FLAIR MRI.
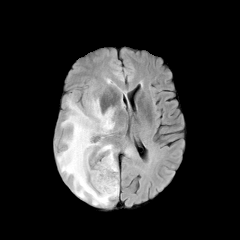
T1-weighted MRI.
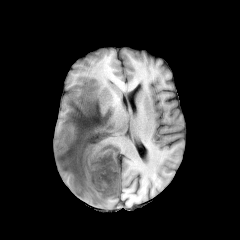
Post-contrast T1-weighted magnetic resonance.
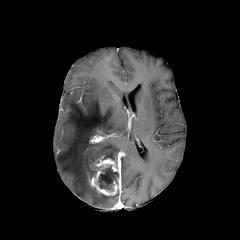
T2-weighted magnetic resonance.
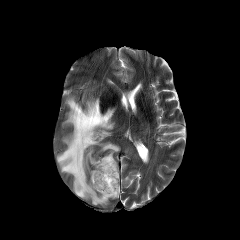
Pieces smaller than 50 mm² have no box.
peritumoral edema at 56, 96, 119, 206
necrotic tumor core at 98, 166, 118, 189
enhancing tumor at 89, 157, 120, 195